FLAIR MR image.
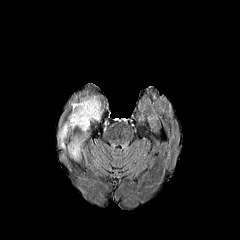
T1-weighted MRI.
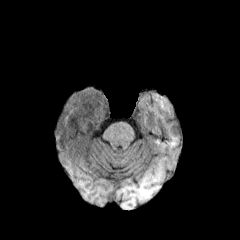
Post-contrast T1-weighted MR.
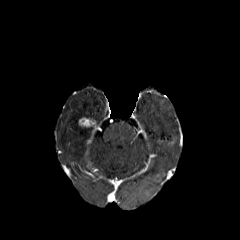
T2-weighted MR image.
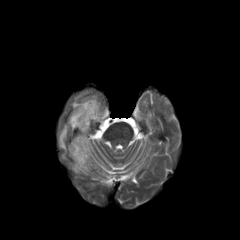
240x240 px; Brain
{
  "peritumoral_edema": [
    "l=57, t=95, r=104, b=162"
  ],
  "enhancing_tumor": [
    "l=78, t=117, r=92, b=127"
  ]
}